FLAIR MRI.
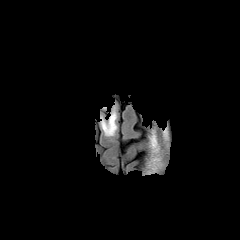
T1-weighted MRI.
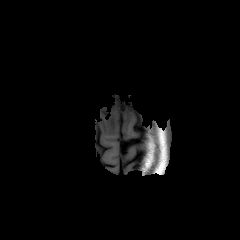
Post-contrast T1-weighted MR.
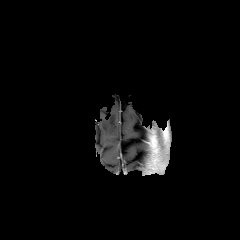
T2-weighted MR image.
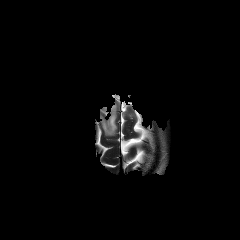
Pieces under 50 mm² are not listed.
peritumoral edema: bbox=[100, 105, 117, 136]